FLAIR magnetic resonance.
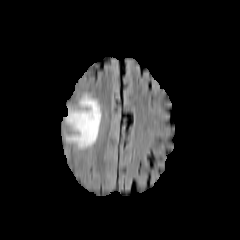
T1-weighted MR.
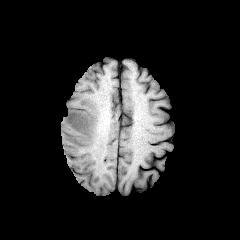
Post-contrast T1-weighted MR image.
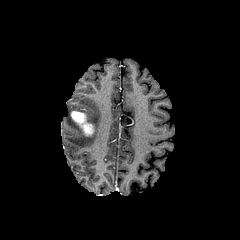
T2-weighted magnetic resonance.
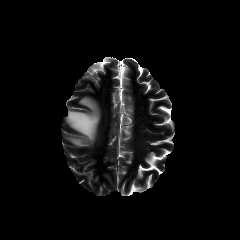
Brain.
enhancing tumor: bounding box (71,111,94,135)
peritumoral edema: bounding box (65,95,101,148)